Brain. 240x240. Image width 240 mm, 1.00 mm slice spacing.
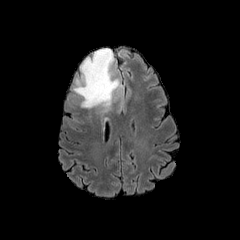
FLAIR magnetic resonance.
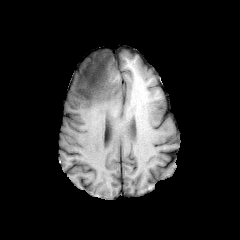
T1-weighted magnetic resonance of the same slice.
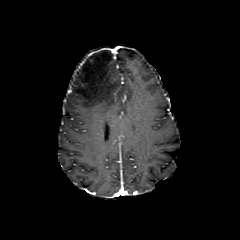
Same slice, post-contrast T1-weighted MRI.
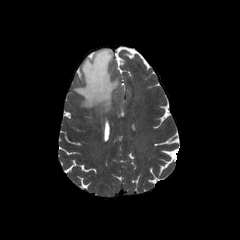
T2-weighted MR.
peritumoral edema: bounding box x1=73 y1=49 x2=121 y2=115